Axial slice; Brain; Image covers 240 mm x 240 mm; Image size 240x240
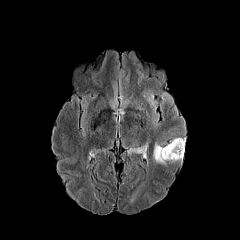
FLAIR MR.
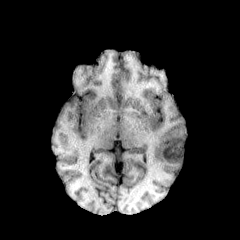
T1-weighted MRI.
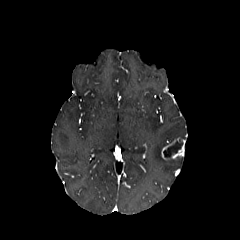
Same slice, post-contrast T1-weighted MR image.
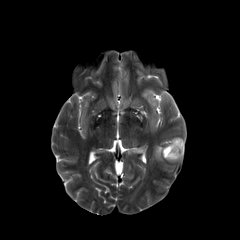
Same slice, T2-weighted MRI.
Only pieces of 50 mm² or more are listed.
necrotic tumor core: box(163, 140, 182, 157)
peritumoral edema: box(153, 143, 182, 164); box(131, 147, 145, 153)
enhancing tumor: box(161, 138, 185, 160)